240x240 px
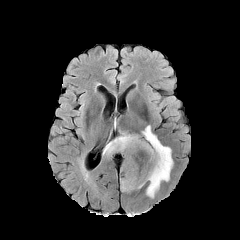
FLAIR MRI.
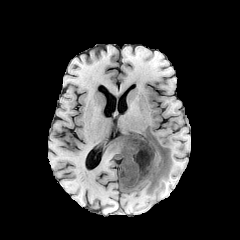
T1-weighted MRI of the same slice.
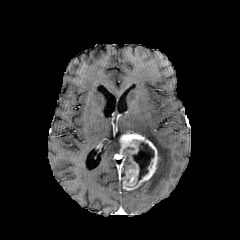
Post-contrast T1-weighted MR.
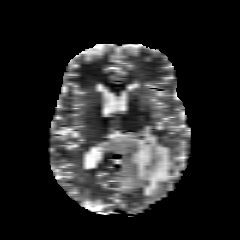
T2-weighted MR image.
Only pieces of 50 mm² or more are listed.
enhancing tumor: box(119, 132, 158, 190) | peritumoral edema: box(103, 137, 120, 154); box(141, 125, 173, 197) | necrotic tumor core: box(132, 142, 154, 180)